Image size 240x240
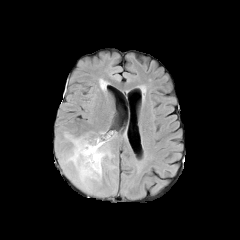
FLAIR MR image.
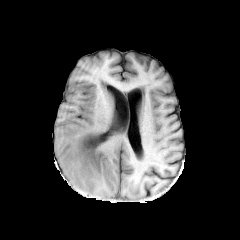
T1-weighted MR image.
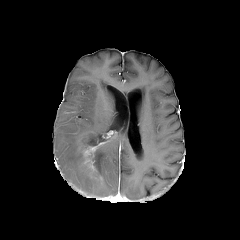
Post-contrast T1-weighted MRI.
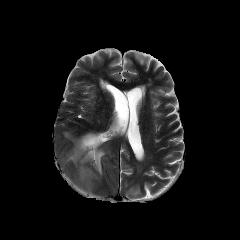
T2-weighted magnetic resonance.
Segmented structures:
* enhancing tumor: box=[79, 134, 106, 173]
* necrotic tumor core: box=[83, 136, 103, 145]
* peritumoral edema: box=[65, 133, 110, 188]